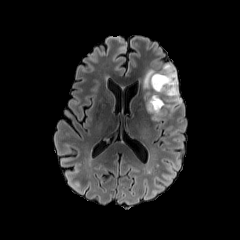
FLAIR MR.
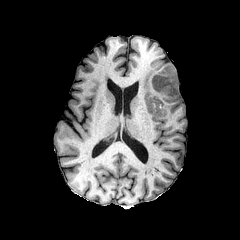
T1-weighted magnetic resonance.
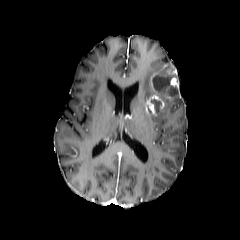
Post-contrast T1-weighted magnetic resonance.
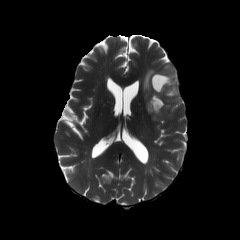
T2-weighted magnetic resonance.
240x240 px. Brain. Axial plane.
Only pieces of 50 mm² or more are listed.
The 3 largest necrotic tumor core regions are located at <bbox>167, 87, 177, 96</bbox>, <bbox>153, 75, 172, 92</bbox>, <bbox>151, 99, 161, 110</bbox>. The enhancing tumor lies within <bbox>145, 65, 179, 115</bbox>. The 2 largest peritumoral edema regions are located at <bbox>151, 94, 182, 120</bbox>, <bbox>143, 68, 159, 101</bbox>.